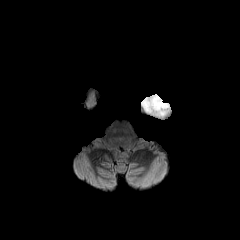
FLAIR magnetic resonance.
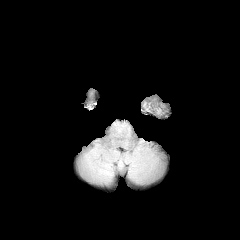
T1-weighted MRI.
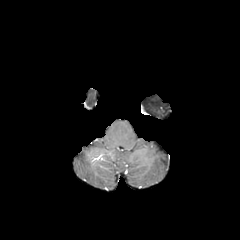
Post-contrast T1-weighted MR.
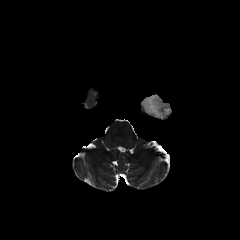
T2-weighted MR image of the same slice.
Head
peritumoral edema — bbox=[141, 94, 171, 118]